Brain. Slice 37 of 155. Axial plane.
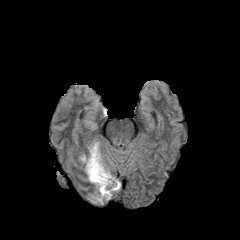
FLAIR magnetic resonance.
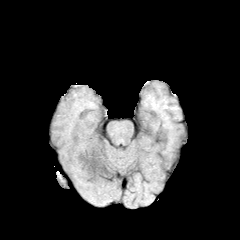
T1-weighted MR image.
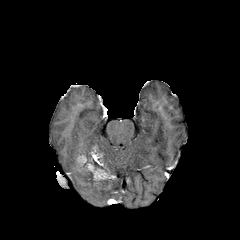
Post-contrast T1-weighted MR image of the same slice.
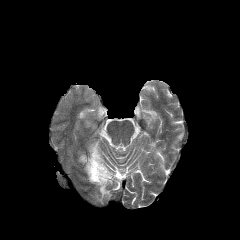
T2-weighted MRI.
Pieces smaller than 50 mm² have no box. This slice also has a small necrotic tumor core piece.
The enhancing tumor is located at x1=77 y1=145 x2=115 y2=183. The 2 largest peritumoral edema regions appear at x1=82 y1=164 x2=120 y2=203, x1=86 y1=141 x2=101 y2=158.